240x240 | Brain
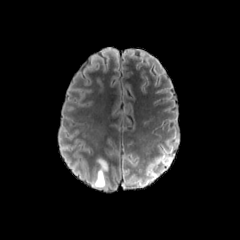
FLAIR MR.
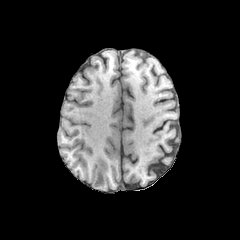
T1-weighted MR of the same slice.
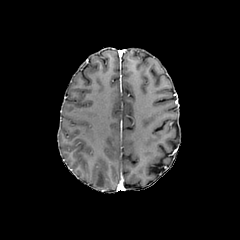
Post-contrast T1-weighted MR image.
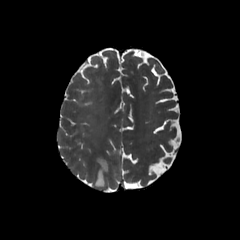
Same slice, T2-weighted MR.
peritumoral_edema:
  - [94, 159, 107, 186]